FLAIR MR.
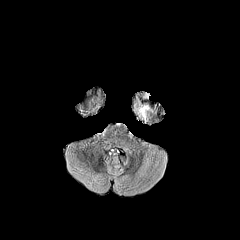
T1-weighted MR.
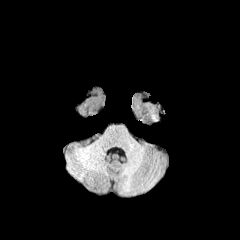
Post-contrast T1-weighted magnetic resonance.
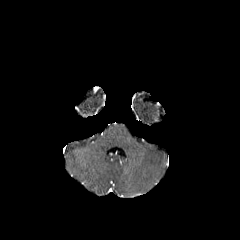
T2-weighted MR.
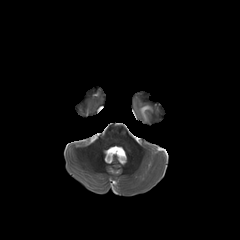
Axial view | Head
<segmentation>
  <peritumoral_edema>l=137, t=105, r=151, b=121</peritumoral_edema>
</segmentation>